Axial view, Slice 59/155
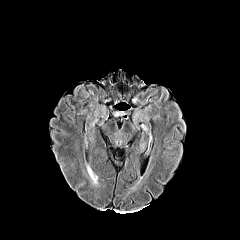
FLAIR MR image.
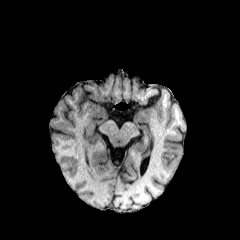
T1-weighted MR image.
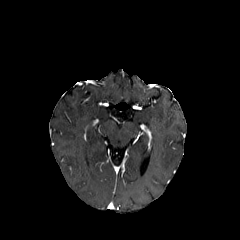
Post-contrast T1-weighted magnetic resonance.
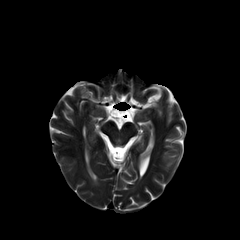
T2-weighted MR.
{"peritumoral_edema": ["<box>87,166,97,183</box>"]}